FLAIR MR.
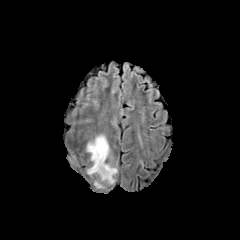
T1-weighted MR.
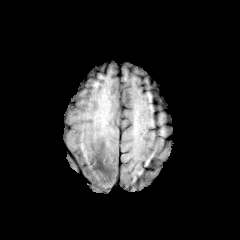
Post-contrast T1-weighted magnetic resonance.
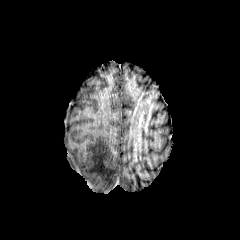
T2-weighted MR image.
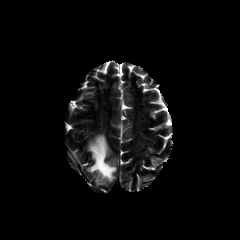
Brain, Axial view
The peritumoral edema is located at [87,134,117,187].